Slice 79 of 155, Head
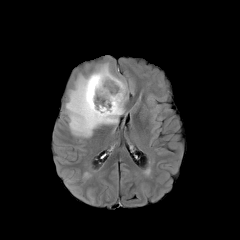
FLAIR magnetic resonance.
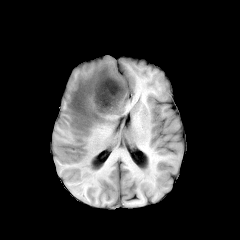
Same slice, T1-weighted MR.
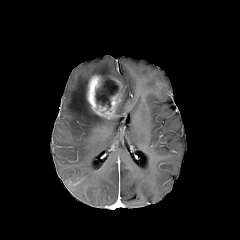
Post-contrast T1-weighted MRI of the same slice.
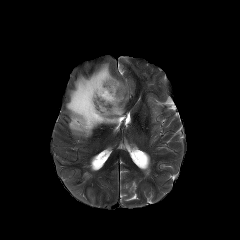
T2-weighted magnetic resonance.
• peritumoral edema: (x1=65, y1=57, x2=128, y2=137)
• enhancing tumor: (x1=86, y1=75, x2=124, y2=119)
• necrotic tumor core: (x1=96, y1=79, x2=118, y2=107)